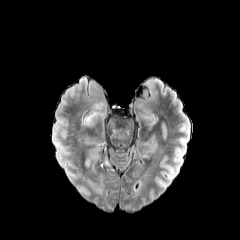
FLAIR magnetic resonance.
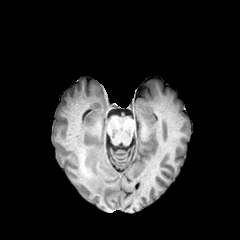
T1-weighted magnetic resonance of the same slice.
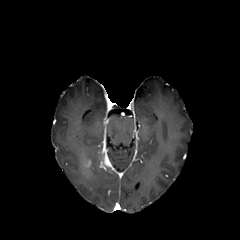
Post-contrast T1-weighted MRI.
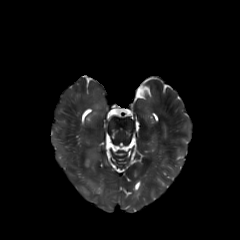
T2-weighted MR of the same slice.
Brain
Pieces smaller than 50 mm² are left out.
The largest peritumoral edema region is at l=84, t=149, r=106, b=165. The largest enhancing tumor region lies within l=100, t=153, r=110, b=168.